Slice 134/155.
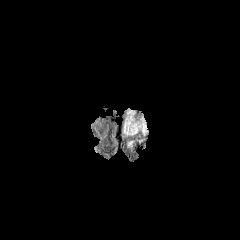
FLAIR MR.
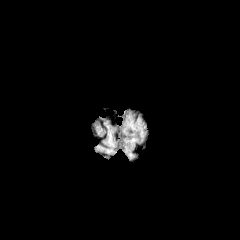
Same slice, T1-weighted MR image.
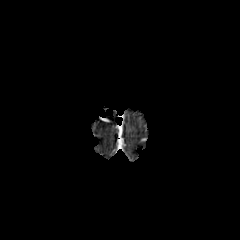
Post-contrast T1-weighted magnetic resonance of the same slice.
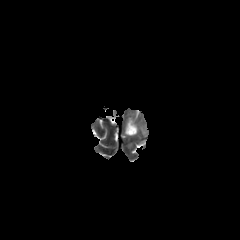
Same slice, T2-weighted MRI.
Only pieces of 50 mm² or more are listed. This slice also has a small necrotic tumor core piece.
enhancing tumor: (126, 121, 136, 134)
peritumoral edema: (126, 117, 140, 133)